Head, Axial plane, Image covers 240 mm x 240 mm
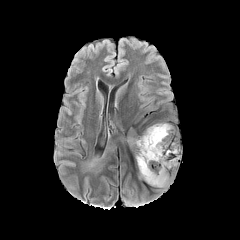
FLAIR magnetic resonance.
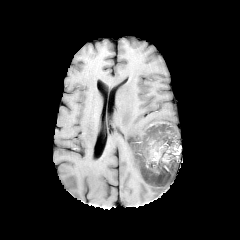
T1-weighted magnetic resonance.
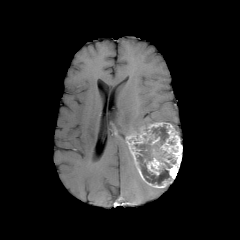
Post-contrast T1-weighted MR.
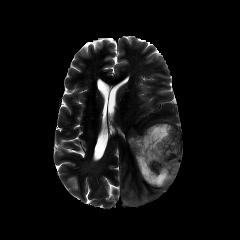
T2-weighted MR image.
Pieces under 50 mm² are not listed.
enhancing tumor: bounding box x1=127, y1=122, x2=181, y2=188
necrotic tumor core: bounding box x1=152, y1=124, x2=168, y2=145; x1=134, y1=140, x2=170, y2=185